Image width 240 mm; Axial plane; Slice 116/155
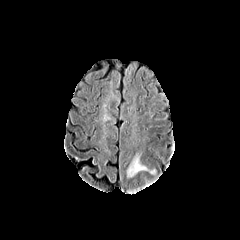
FLAIR magnetic resonance.
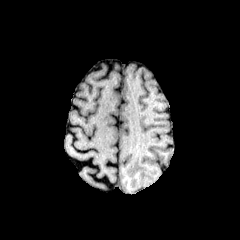
T1-weighted MR image.
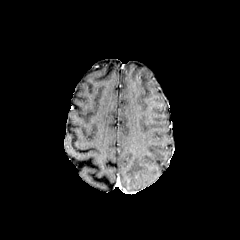
Post-contrast T1-weighted MRI.
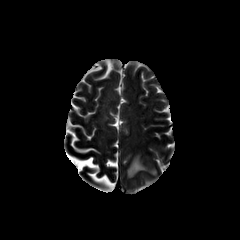
T2-weighted magnetic resonance.
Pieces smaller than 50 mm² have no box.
• peritumoral edema: (127,156,146,176)